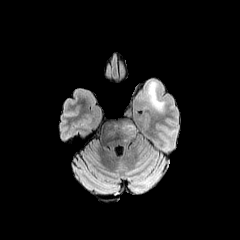
FLAIR MR image.
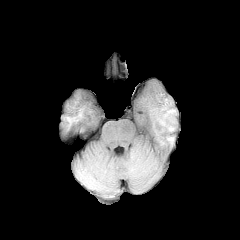
T1-weighted MRI.
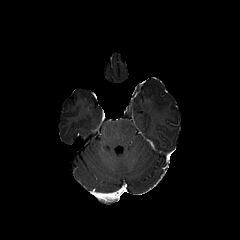
Post-contrast T1-weighted MRI.
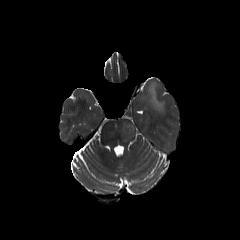
Same slice, T2-weighted magnetic resonance.
240x240, Head
{
  "peritumoral_edema": [
    "(left=148, top=82, right=164, bottom=111)",
    "(left=118, top=121, right=135, bottom=139)"
  ]
}